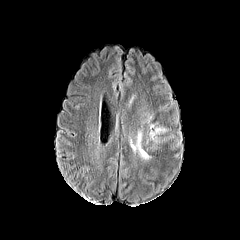
FLAIR MRI.
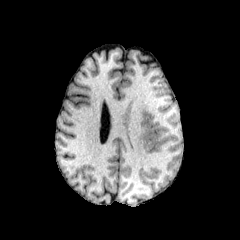
T1-weighted MRI of the same slice.
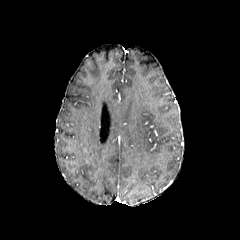
Same slice, post-contrast T1-weighted MR image.
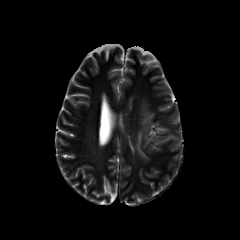
Same slice, T2-weighted MR.
Head
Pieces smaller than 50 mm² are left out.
peritumoral edema: box(134, 132, 148, 158)